FLAIR magnetic resonance.
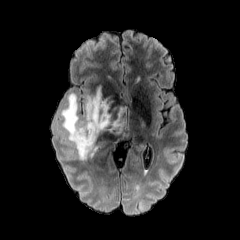
T1-weighted MRI.
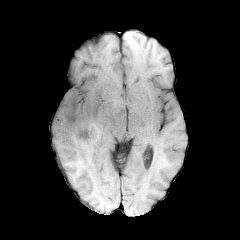
Post-contrast T1-weighted MRI.
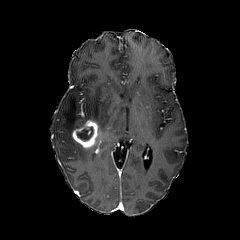
T2-weighted magnetic resonance.
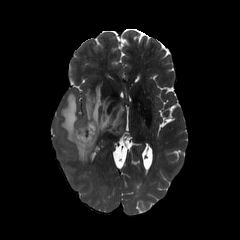
Brain. Axial plane.
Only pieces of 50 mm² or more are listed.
Annotated regions:
- enhancing tumor: <box>72,120,98,148</box>
- necrotic tumor core: <box>76,126,93,140</box>
- peritumoral edema: <box>61,83,129,160</box>